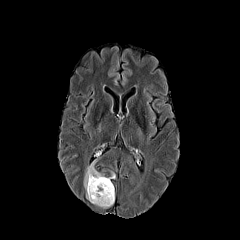
FLAIR magnetic resonance.
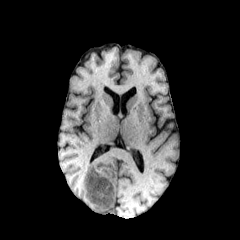
T1-weighted magnetic resonance of the same slice.
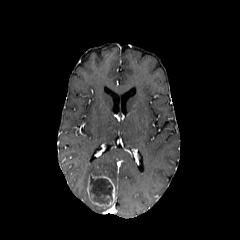
Post-contrast T1-weighted MR image.
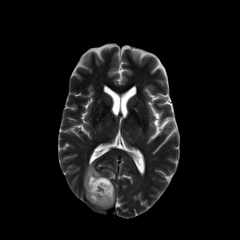
T2-weighted MRI.
Axial plane; 240x240 px
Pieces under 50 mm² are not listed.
The necrotic tumor core is located at x1=89 y1=176 x2=112 y2=203. The largest enhancing tumor region is bounded by x1=87 y1=174 x2=114 y2=208. The largest peritumoral edema region is at x1=84 y1=163 x2=104 y2=199.